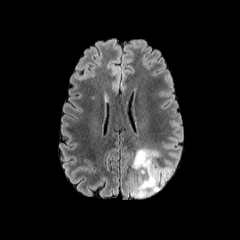
FLAIR MRI.
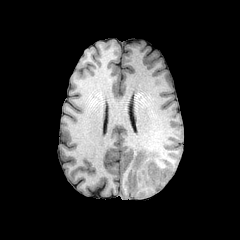
Same slice, T1-weighted MR image.
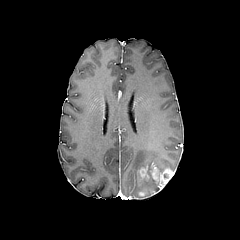
Post-contrast T1-weighted MRI.
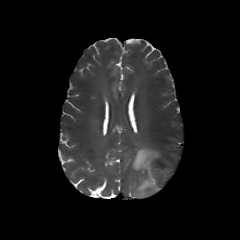
T2-weighted magnetic resonance.
Axial plane; Head
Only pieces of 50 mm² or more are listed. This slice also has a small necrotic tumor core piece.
enhancing_tumor:
  - (138,164,173,188)
peritumoral_edema:
  - (131,173,160,197)
  - (132,148,173,171)